Slice 109/155. Head.
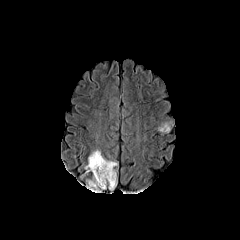
FLAIR MR.
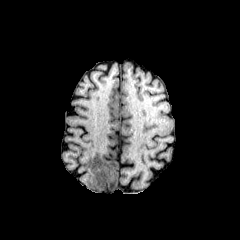
Same slice, T1-weighted MR.
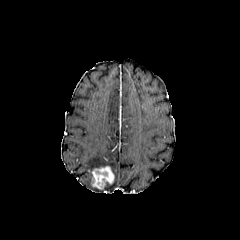
Post-contrast T1-weighted MRI of the same slice.
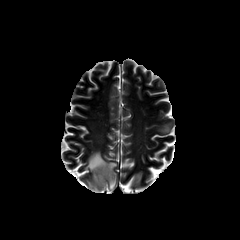
T2-weighted MRI of the same slice.
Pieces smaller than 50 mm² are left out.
{"enhancing_tumor": ["(91,165,114,189)"], "peritumoral_edema": ["(86,180,101,192)", "(160,125,170,132)", "(85,150,117,190)"]}